Brain | Slice 81 of 155
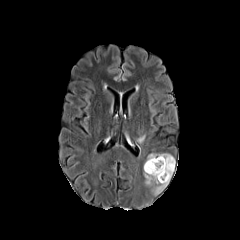
FLAIR MR.
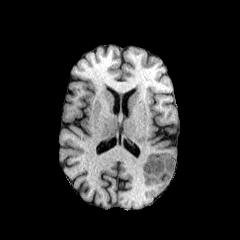
Same slice, T1-weighted magnetic resonance.
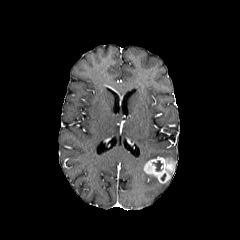
Post-contrast T1-weighted magnetic resonance.
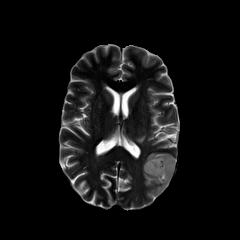
Same slice, T2-weighted MRI.
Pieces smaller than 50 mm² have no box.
Findings:
• peritumoral edema: [145,153,175,162], [136,135,145,143], [143,172,169,195]
• necrotic tumor core: [153,161,162,171]
• enhancing tumor: [143,157,175,183]